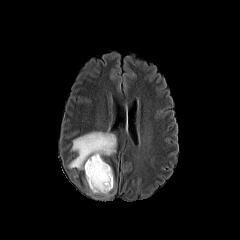
FLAIR magnetic resonance.
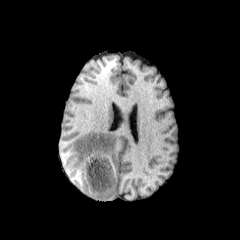
Same slice, T1-weighted MR image.
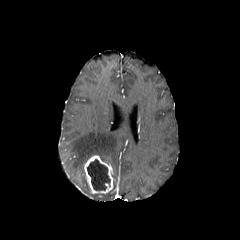
Post-contrast T1-weighted magnetic resonance of the same slice.
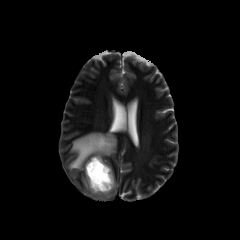
T2-weighted MRI.
Head
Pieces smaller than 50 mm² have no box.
peritumoral edema: (69, 132, 116, 169) | necrotic tumor core: (87, 159, 110, 190) | enhancing tumor: (84, 155, 113, 193)